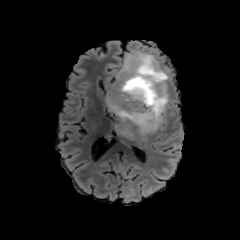
FLAIR MR image.
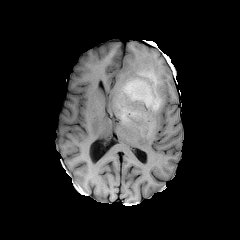
Same slice, T1-weighted MRI.
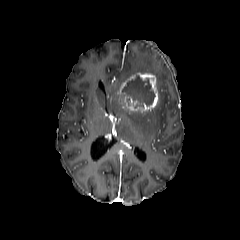
Post-contrast T1-weighted magnetic resonance.
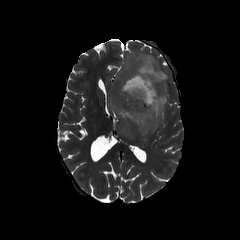
T2-weighted MRI.
Axial slice; 240x240; Head
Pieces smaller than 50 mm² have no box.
The largest necrotic tumor core region lies within region(123, 75, 154, 106). The peritumoral edema lies within region(107, 50, 168, 139). The largest enhancing tumor region lies within region(119, 72, 158, 112).